240x240 px | Axial slice | Slice 66 of 155
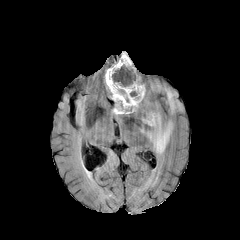
FLAIR MR.
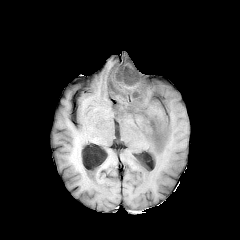
T1-weighted MRI of the same slice.
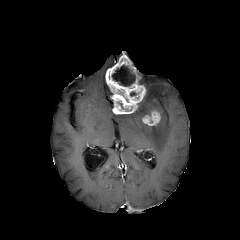
Post-contrast T1-weighted MRI.
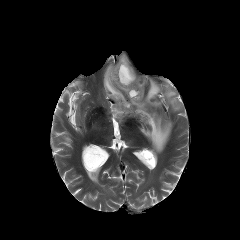
Same slice, T2-weighted MR.
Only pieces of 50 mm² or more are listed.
{"necrotic_tumor_core": ["bbox(112, 65, 135, 86)"], "enhancing_tumor": ["bbox(142, 111, 160, 125)", "bbox(105, 52, 145, 114)"], "peritumoral_edema": ["bbox(140, 113, 172, 154)", "bbox(134, 82, 182, 119)", "bbox(104, 75, 111, 96)"]}